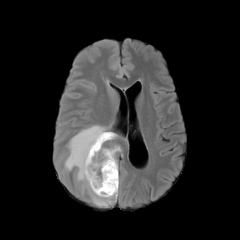
FLAIR magnetic resonance.
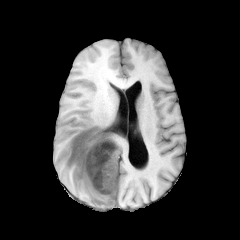
Same slice, T1-weighted MRI.
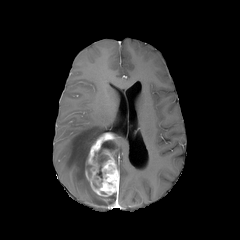
Post-contrast T1-weighted MR.
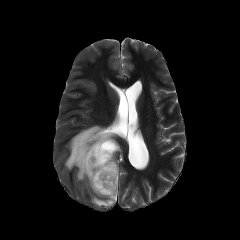
T2-weighted MRI of the same slice.
Head | Axial slice
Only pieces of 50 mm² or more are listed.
necrotic tumor core: <bbox>98, 140, 117, 154</bbox> | enhancing tumor: <bbox>85, 132, 119, 196</bbox> | peritumoral edema: <bbox>114, 144, 121, 168</bbox>, <bbox>64, 125, 117, 206</bbox>